240x240, Brain
FLAIR MR.
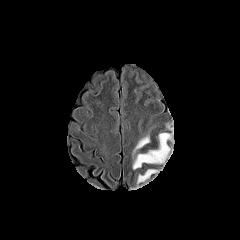
T1-weighted MR image.
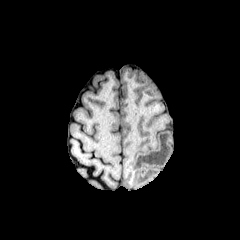
Post-contrast T1-weighted MR image.
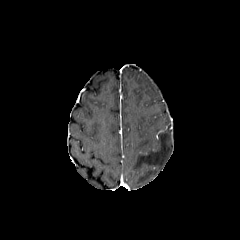
T2-weighted magnetic resonance.
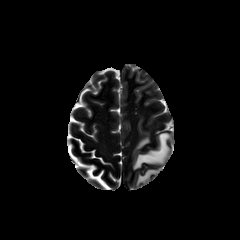
3 peritumoral edema regions are bounded by x1=137, y1=169, x2=159, y2=185; x1=133, y1=133, x2=170, y2=169; x1=134, y1=136, x2=149, y2=153.